Slice 72 of 155 | Head
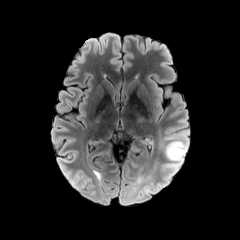
FLAIR magnetic resonance.
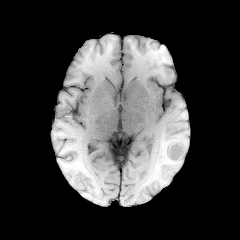
T1-weighted MR of the same slice.
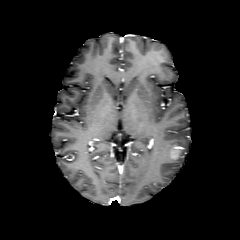
Post-contrast T1-weighted MR image.
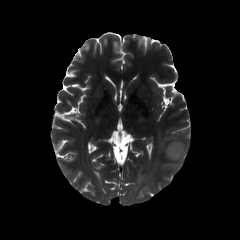
Same slice, T2-weighted MR image.
* peritumoral edema: 162 133 188 171
* enhancing tumor: 169 143 184 160